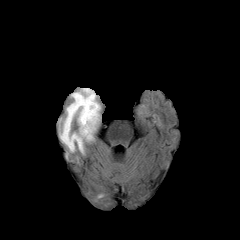
FLAIR MR image.
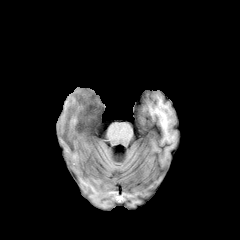
T1-weighted MR.
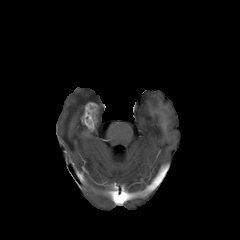
Post-contrast T1-weighted magnetic resonance.
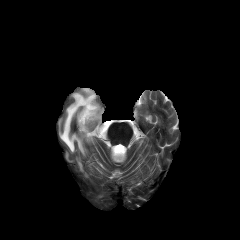
T2-weighted MR.
Head
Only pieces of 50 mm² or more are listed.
Findings:
- enhancing tumor: box=[80, 102, 99, 137]
- peritumoral edema: box=[59, 88, 100, 154]